Head | Axial slice | Slice index 81 | Image size 240x240 | Image width 240 mm, 1.00 mm slice spacing
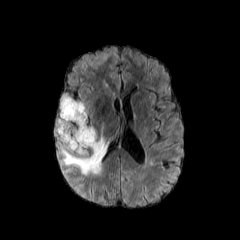
FLAIR MR.
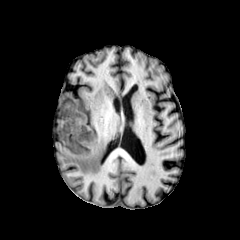
Same slice, T1-weighted magnetic resonance.
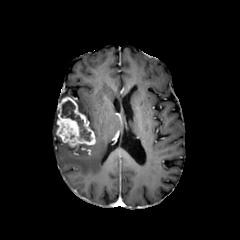
Same slice, post-contrast T1-weighted MR image.
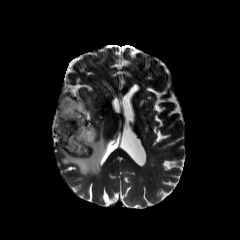
T2-weighted MR.
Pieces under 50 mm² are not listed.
peritumoral edema: region(60, 126, 107, 175); region(76, 101, 86, 116) | necrotic tumor core: region(61, 100, 90, 141) | enhancing tumor: region(56, 97, 95, 147)